FLAIR MR.
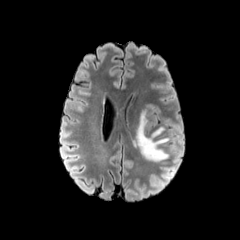
T1-weighted MR.
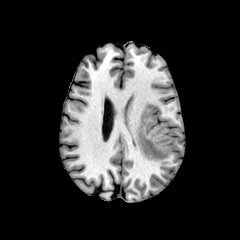
Post-contrast T1-weighted MRI.
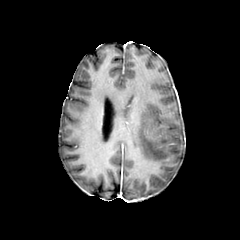
T2-weighted magnetic resonance.
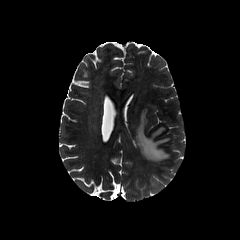
Head | 240x240 px
peritumoral_edema:
  - box(134, 110, 169, 161)